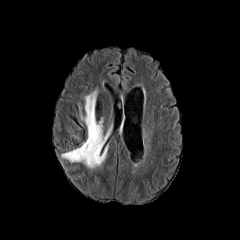
FLAIR magnetic resonance.
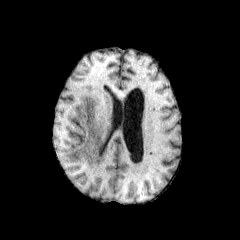
Same slice, T1-weighted MR.
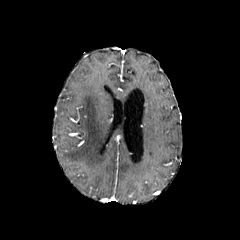
Post-contrast T1-weighted magnetic resonance.
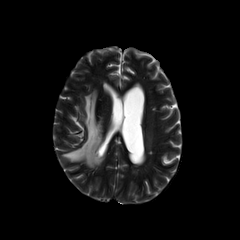
Same slice, T2-weighted MRI.
Image size 240x240, Axial plane, Brain
Segmented structures:
* peritumoral edema: 61 90 108 168